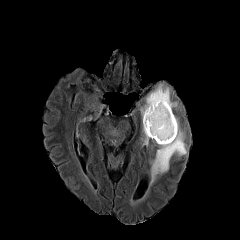
FLAIR MRI.
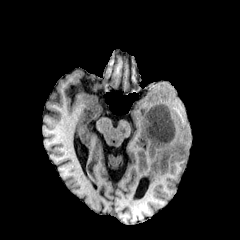
T1-weighted magnetic resonance.
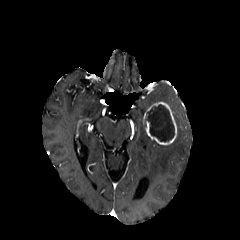
Post-contrast T1-weighted magnetic resonance.
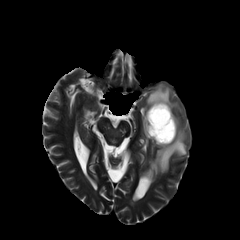
T2-weighted magnetic resonance.
Axial view
enhancing tumor: bounding box region(143, 101, 177, 145)
necrotic tumor core: bounding box region(145, 104, 174, 141)
peritumoral edema: bounding box region(140, 84, 178, 145); region(150, 116, 187, 183)